FLAIR MR image.
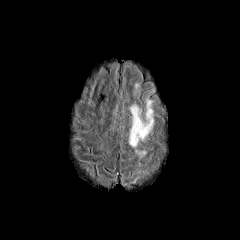
T1-weighted MR image.
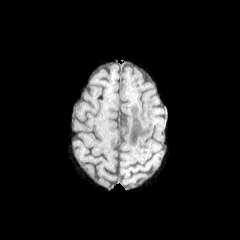
Post-contrast T1-weighted MRI.
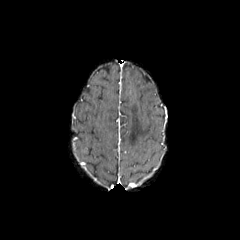
T2-weighted magnetic resonance.
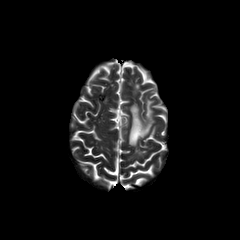
Head | Axial view
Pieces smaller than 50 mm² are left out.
{
  "peritumoral_edema": [
    "l=128, t=99, r=153, b=146"
  ]
}